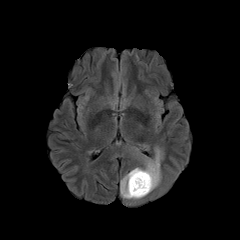
FLAIR MRI.
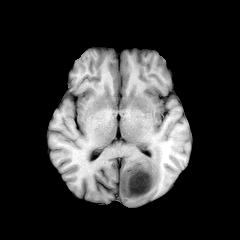
Same slice, T1-weighted magnetic resonance.
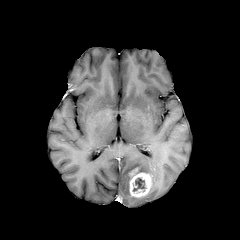
Post-contrast T1-weighted magnetic resonance.
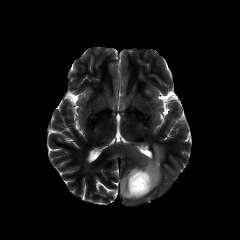
T2-weighted MR.
Axial view | Head
The enhancing tumor is bounded by bbox(129, 168, 152, 197). 2 peritumoral edema regions are located at bbox(136, 146, 162, 192); bbox(120, 168, 143, 200). The necrotic tumor core is located at bbox(133, 178, 145, 191).